FLAIR MR image.
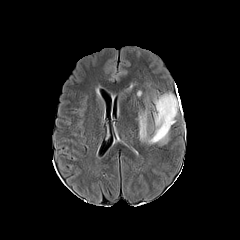
T1-weighted MRI.
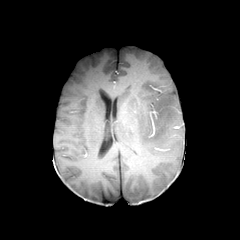
Post-contrast T1-weighted MR.
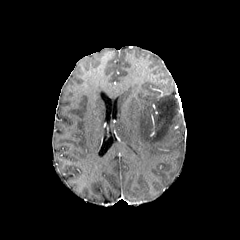
T2-weighted MR.
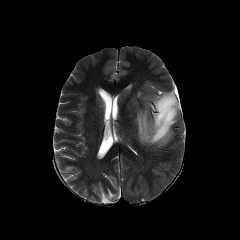
Brain | Axial slice
<segmentation>
  <peritumoral_edema>(138, 93, 178, 144)</peritumoral_edema>
</segmentation>